Brain, Image width 240 mm, 1.00 mm slice spacing, Slice 110/155
FLAIR MRI.
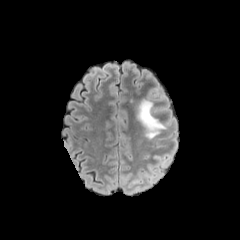
T1-weighted MR.
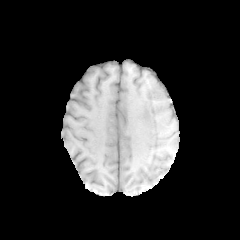
Post-contrast T1-weighted MR image.
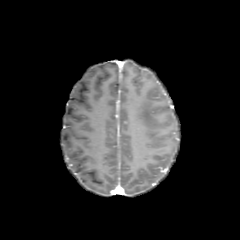
T2-weighted MR.
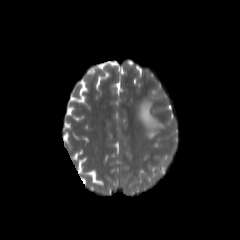
The peritumoral edema is located at [x1=137, y1=99, x2=165, y2=139].